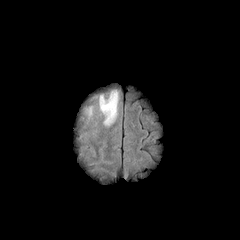
FLAIR MR.
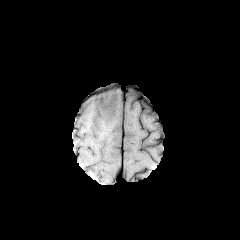
T1-weighted MRI.
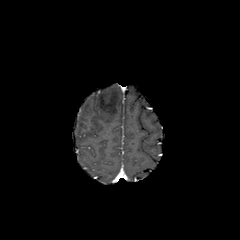
Post-contrast T1-weighted MR.
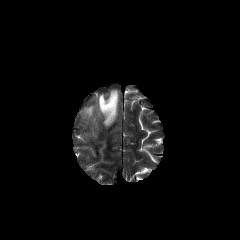
T2-weighted MR of the same slice.
Axial view
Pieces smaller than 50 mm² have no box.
The largest peritumoral edema region appears at x1=99, y1=90, x2=118, y2=125.